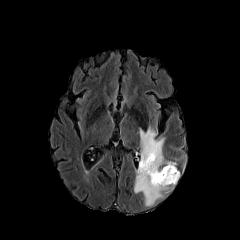
FLAIR MR.
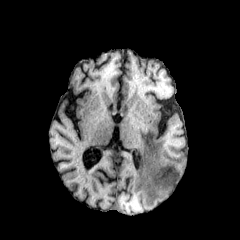
Same slice, T1-weighted MR image.
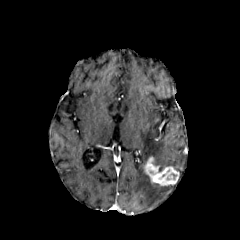
Post-contrast T1-weighted MRI.
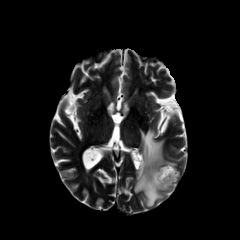
Same slice, T2-weighted MR.
Head; Axial view
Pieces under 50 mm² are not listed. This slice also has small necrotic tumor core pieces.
enhancing tumor at 142, 156, 179, 186
peritumoral edema at 134, 126, 176, 206